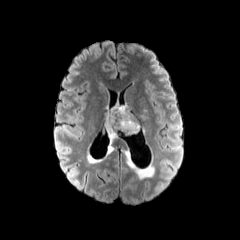
FLAIR MRI.
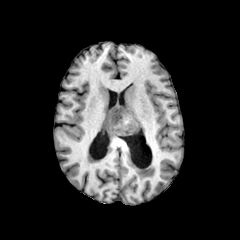
T1-weighted MR.
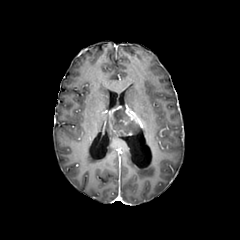
Post-contrast T1-weighted magnetic resonance.
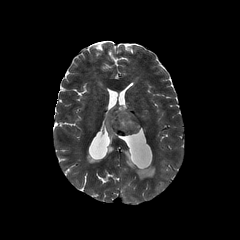
T2-weighted MR image.
Axial slice
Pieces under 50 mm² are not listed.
enhancing tumor at (125,104,139,127), (105,105,135,136)
necrotic tumor core at (111,106,139,133)
peritumoral edema at (103,117,116,141)